Brain
FLAIR MR.
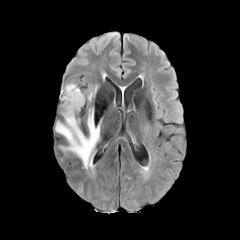
T1-weighted MRI.
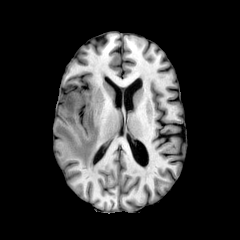
Post-contrast T1-weighted MR.
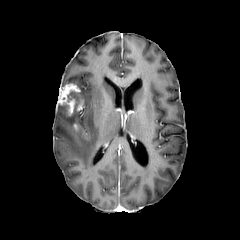
T2-weighted MR image.
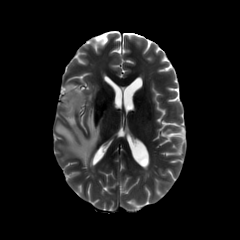
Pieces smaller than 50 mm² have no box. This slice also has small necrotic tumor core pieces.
<segmentation>
  <peritumoral_edema><box>55,92,100,173</box>, <box>87,88,96,101</box></peritumoral_edema>
  <enhancing_tumor><box>59,83,80,115</box></enhancing_tumor>
</segmentation>